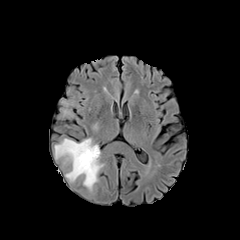
FLAIR MR.
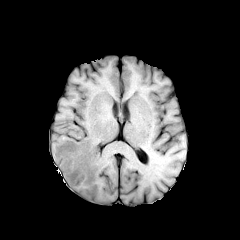
T1-weighted magnetic resonance of the same slice.
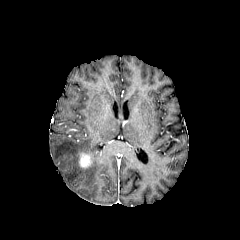
Post-contrast T1-weighted MR.
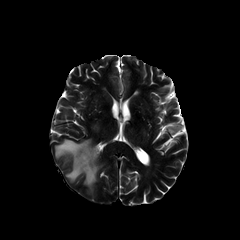
Same slice, T2-weighted MRI.
Axial plane
{"peritumoral_edema": ["(left=54, top=138, right=103, bottom=190)"], "enhancing_tumor": ["(left=78, top=152, right=93, bottom=168)"]}